Image width 240 mm, 1.00 mm slice spacing | Slice 63/155 | Head
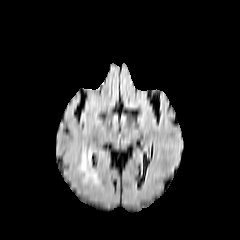
FLAIR MRI.
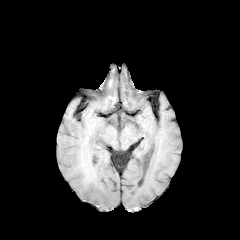
T1-weighted MR.
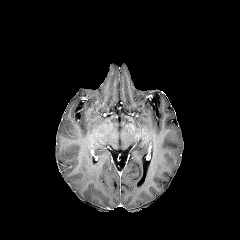
Post-contrast T1-weighted MR of the same slice.
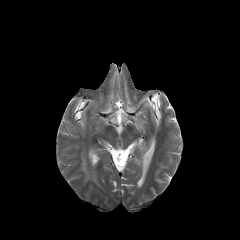
T2-weighted magnetic resonance.
peritumoral_edema:
  - 81,152,97,181